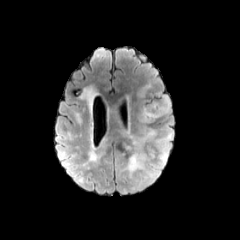
FLAIR magnetic resonance.
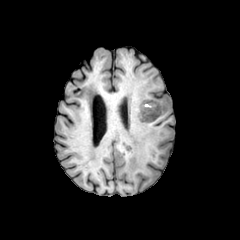
Same slice, T1-weighted MR image.
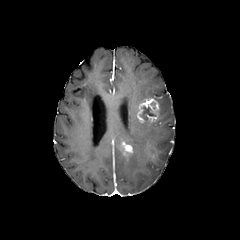
Post-contrast T1-weighted magnetic resonance.
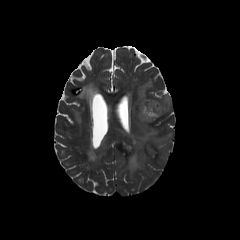
T2-weighted MR image.
Head | Axial view
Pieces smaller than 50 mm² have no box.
<segmentation>
  <necrotic_tumor_core>[141,106,155,120]</necrotic_tumor_core>
  <enhancing_tumor>[137,98,160,122], [122,142,132,151]</enhancing_tumor>
  <peritumoral_edema>[147,146,154,158], [124,122,156,176], [157,133,171,160], [159,96,170,117]</peritumoral_edema>
</segmentation>